Axial view; Image size 240x240; Slice index 66
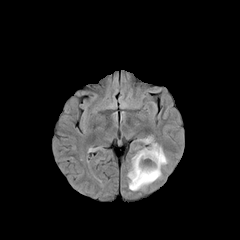
FLAIR MRI.
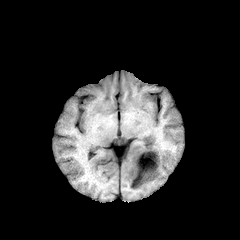
T1-weighted MRI.
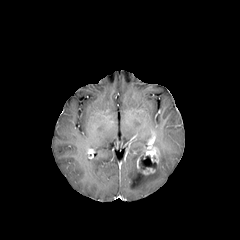
Post-contrast T1-weighted MR image.
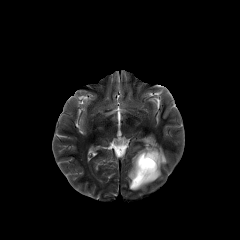
T2-weighted MRI.
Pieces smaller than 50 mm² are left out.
The enhancing tumor is at 136, 146, 159, 174. The largest peritumoral edema region lies within 128, 143, 168, 190. The largest necrotic tumor core region is bounded by 139, 155, 156, 170.